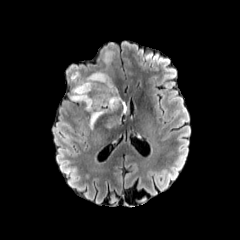
FLAIR MR.
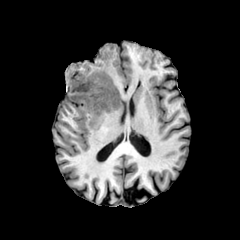
T1-weighted MRI.
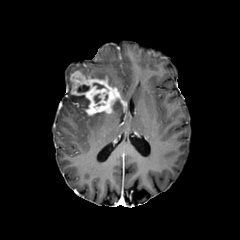
Same slice, post-contrast T1-weighted MR.
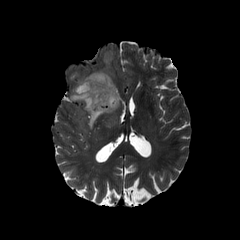
T2-weighted magnetic resonance.
Head
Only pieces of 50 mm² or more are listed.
Annotated regions:
- enhancing tumor: [70, 71, 126, 115]
- peritumoral edema: [104, 52, 111, 64], [70, 95, 88, 109], [89, 112, 104, 129], [91, 71, 114, 86], [113, 100, 120, 110], [103, 114, 120, 128]
- necrotic tumor core: [77, 85, 89, 92]